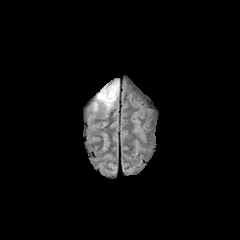
FLAIR MR.
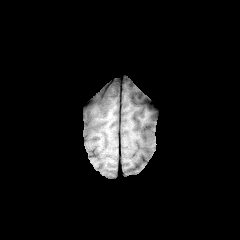
T1-weighted MR.
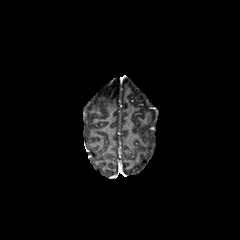
Post-contrast T1-weighted MR image.
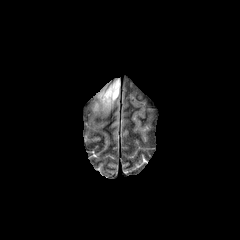
T2-weighted MR image.
Axial view, Image size 240x240
The peritumoral edema appears at 93:79:119:111.